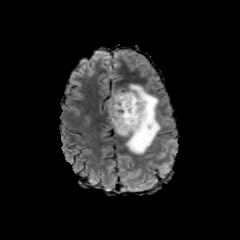
FLAIR magnetic resonance.
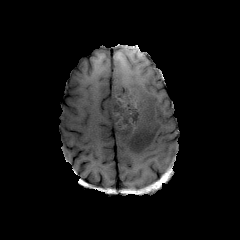
T1-weighted MR of the same slice.
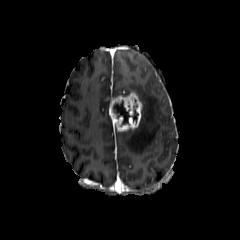
Post-contrast T1-weighted MR image of the same slice.
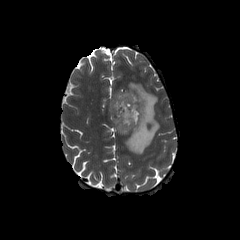
T2-weighted MR of the same slice.
Axial slice
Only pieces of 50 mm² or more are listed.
peritumoral edema: [112, 84, 160, 154] | necrotic tumor core: [113, 100, 129, 124] | enhancing tumor: [109, 92, 142, 132]